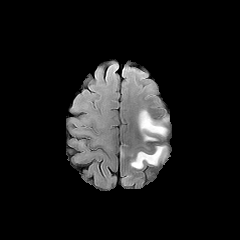
FLAIR MRI.
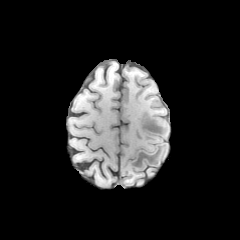
T1-weighted MRI.
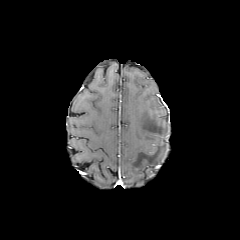
Post-contrast T1-weighted MR image.
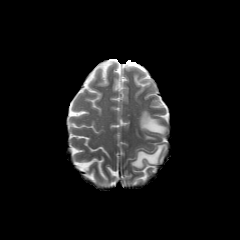
Same slice, T2-weighted MR image.
240x240 px, Axial slice
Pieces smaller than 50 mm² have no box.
* peritumoral edema: 139, 110, 166, 140; 131, 146, 167, 168